FLAIR MR image.
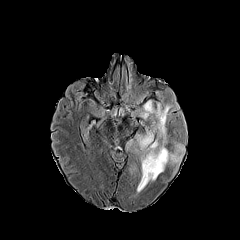
T1-weighted magnetic resonance.
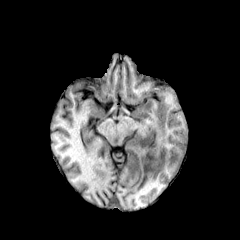
Post-contrast T1-weighted MR image.
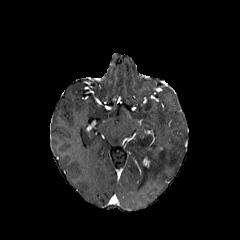
T2-weighted magnetic resonance.
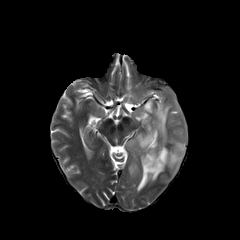
Brain | Axial plane
peritumoral edema: bbox(135, 99, 184, 192); bbox(125, 139, 133, 151)
enhancing tumor: bbox(143, 156, 151, 167)